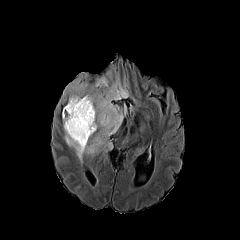
FLAIR MRI.
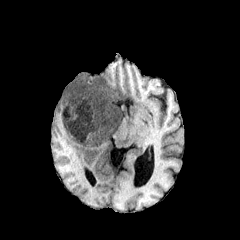
T1-weighted MRI of the same slice.
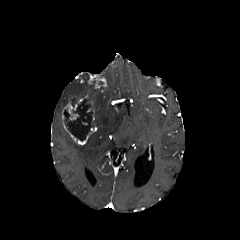
Same slice, post-contrast T1-weighted MR.
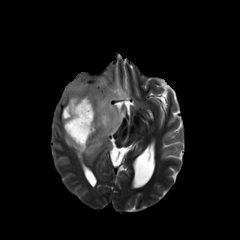
T2-weighted magnetic resonance.
240x240 px | Brain
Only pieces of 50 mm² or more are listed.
necrotic tumor core = box=[70, 98, 78, 106]; box=[64, 99, 93, 140]
peritumoral edema = box=[62, 78, 91, 97]; box=[64, 76, 129, 161]
enhancing tumor = box=[62, 76, 107, 145]